240x240; Slice index 96; Head
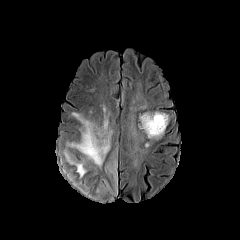
FLAIR MR image.
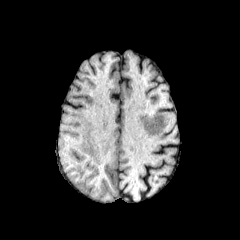
T1-weighted MRI.
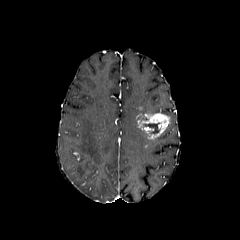
Post-contrast T1-weighted MR.
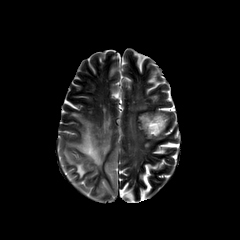
Same slice, T2-weighted MR.
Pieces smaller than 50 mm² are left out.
The 4 largest peritumoral edema regions are bounded by box=[68, 114, 111, 167]; box=[68, 169, 115, 199]; box=[64, 151, 89, 177]; box=[107, 149, 117, 186]. The largest necrotic tumor core region is located at box=[144, 123, 158, 133]. The largest enhancing tumor region lies within box=[138, 113, 169, 139].